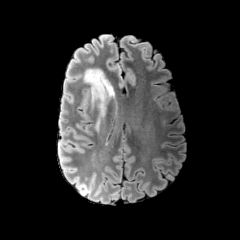
FLAIR MR image.
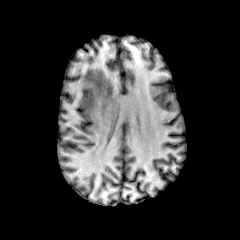
Same slice, T1-weighted magnetic resonance.
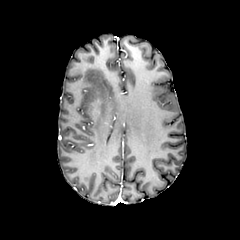
Post-contrast T1-weighted magnetic resonance of the same slice.
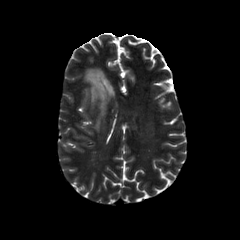
T2-weighted magnetic resonance.
Axial slice. Brain.
enhancing tumor: [x1=89, y1=99, x2=102, y2=121] | peritumoral edema: [x1=83, y1=68, x2=114, y2=132]